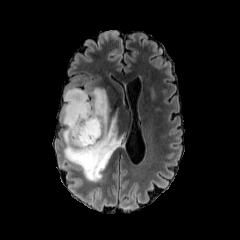
FLAIR magnetic resonance.
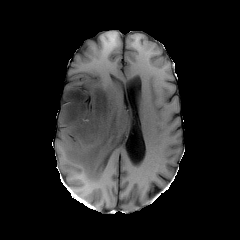
T1-weighted MR.
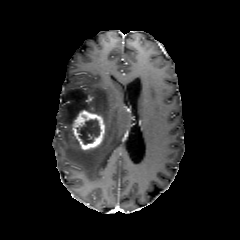
Post-contrast T1-weighted MRI of the same slice.
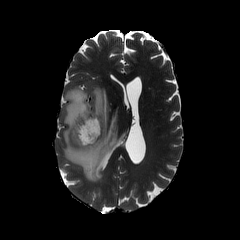
T2-weighted MRI.
Axial plane.
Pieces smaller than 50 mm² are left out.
The necrotic tumor core is bounded by 76:119:99:144. The largest enhancing tumor region is at 72:110:105:150. The peritumoral edema is bounded by 62:87:121:181.